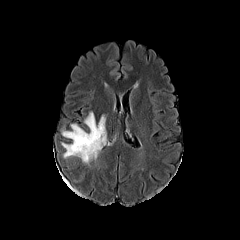
FLAIR MRI.
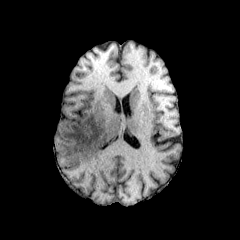
T1-weighted MR image.
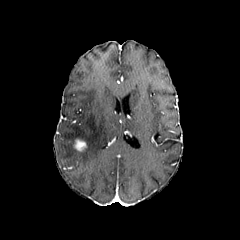
Post-contrast T1-weighted magnetic resonance.
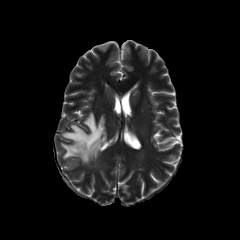
T2-weighted magnetic resonance.
Head; 240x240 px; Axial slice
peritumoral edema = (x1=61, y1=112, x2=107, y2=164)
enhancing tumor = (x1=74, y1=139, x2=86, y2=151)